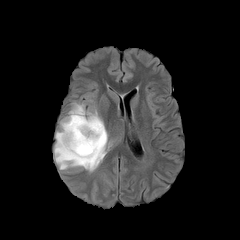
FLAIR MR.
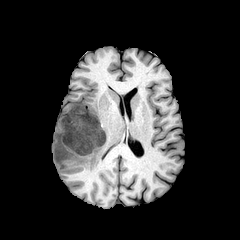
T1-weighted MR of the same slice.
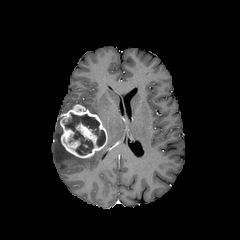
Post-contrast T1-weighted MR of the same slice.
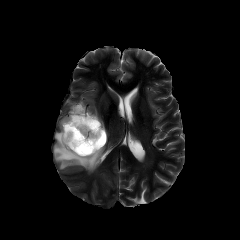
T2-weighted MR of the same slice.
Brain
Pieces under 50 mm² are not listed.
enhancing tumor: bounding box x1=60 y1=104 x2=107 y2=158
necrotic tumor core: bounding box x1=65 y1=113 x2=105 y2=155
peritumoral edema: bounding box x1=54 y1=126 x2=110 y2=172